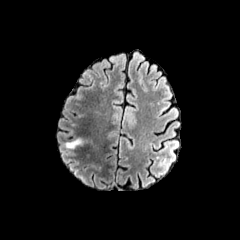
FLAIR MR.
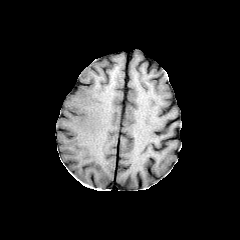
T1-weighted MR.
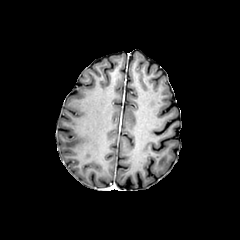
Post-contrast T1-weighted magnetic resonance of the same slice.
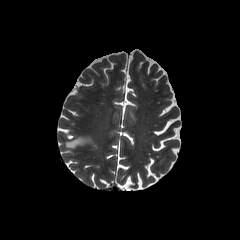
T2-weighted magnetic resonance of the same slice.
Axial plane.
{
  "peritumoral_edema": [
    "(65,138,88,148)"
  ]
}